Image width 240 mm, Slice 80/155, Image size 240x240
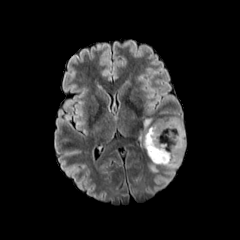
FLAIR MRI.
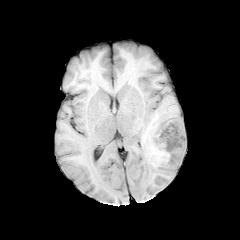
T1-weighted MR of the same slice.
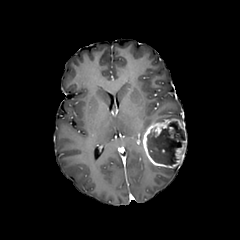
Same slice, post-contrast T1-weighted MRI.
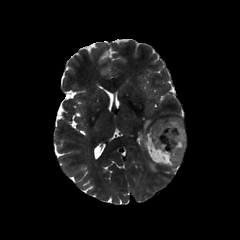
Same slice, T2-weighted MR image.
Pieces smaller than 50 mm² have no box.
The necrotic tumor core is at (x1=147, y1=121, x2=184, y2=165). The largest enhancing tumor region lies within (x1=142, y1=118, x2=186, y2=168). The 3 largest peritumoral edema regions are located at (x1=149, y1=163, x2=158, y2=172), (x1=155, y1=117, x2=176, y2=122), (x1=143, y1=118, x2=151, y2=132).